FLAIR MR.
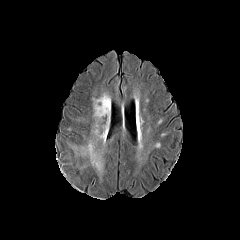
T1-weighted MR image.
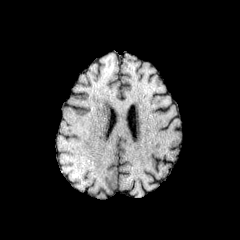
Post-contrast T1-weighted MRI.
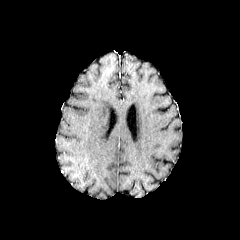
T2-weighted magnetic resonance.
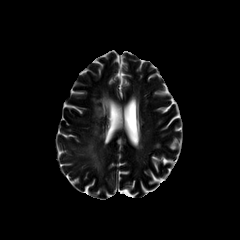
Brain.
2 peritumoral edema regions appear at box(82, 143, 102, 170); box(93, 95, 107, 119).